FLAIR MRI.
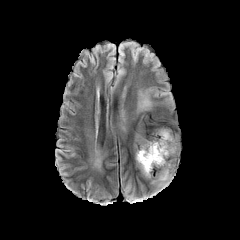
T1-weighted MRI.
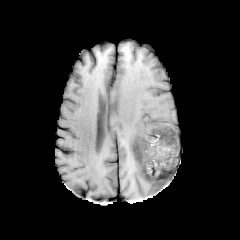
Post-contrast T1-weighted magnetic resonance.
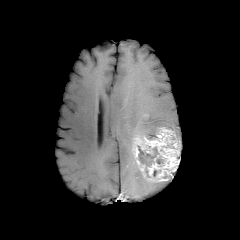
T2-weighted MRI.
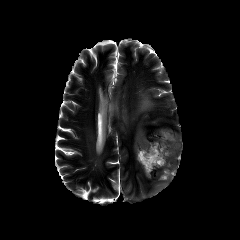
Head.
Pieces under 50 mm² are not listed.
The largest enhancing tumor region is located at [133,127,179,182]. The peritumoral edema is bounded by [153,179,171,187]. The largest necrotic tumor core region appears at [138,146,158,165].